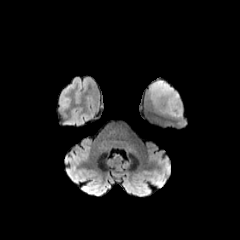
FLAIR MR.
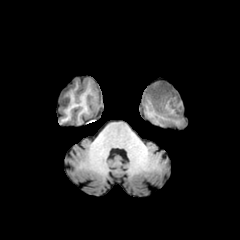
Same slice, T1-weighted MRI.
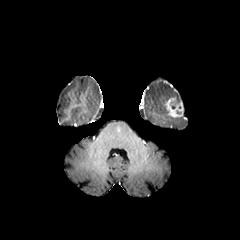
Same slice, post-contrast T1-weighted MR.
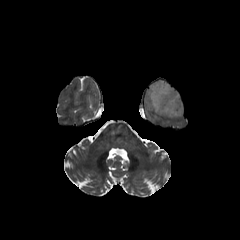
Same slice, T2-weighted MRI.
Head. Image size 240x240.
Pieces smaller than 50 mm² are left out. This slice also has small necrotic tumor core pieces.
peritumoral_edema:
  - (149,81,180,115)
enhancing_tumor:
  - (164,97,183,117)